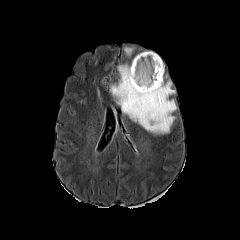
FLAIR MRI.
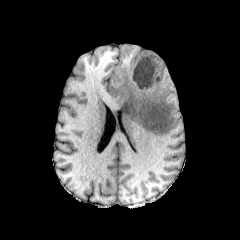
T1-weighted MR.
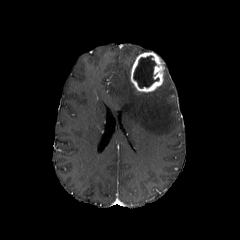
Post-contrast T1-weighted MRI.
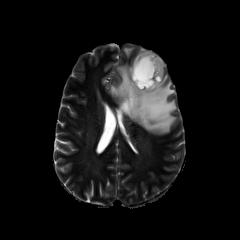
Same slice, T2-weighted MR.
Brain. Axial slice. 240x240.
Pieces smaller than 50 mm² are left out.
peritumoral edema = (124,47,133,56), (110,59,176,135)
necrotic tumor core = (133,56,158,88)
enhancing tumor = (130,52,164,92)